Image width 240 mm; Brain
FLAIR MRI.
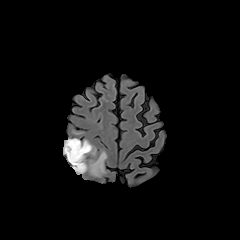
T1-weighted MR image.
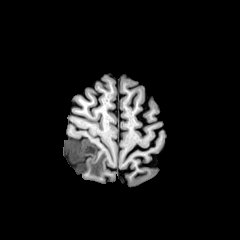
Post-contrast T1-weighted MRI.
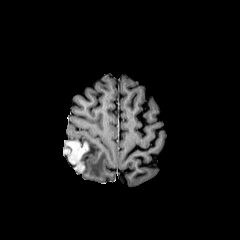
T2-weighted magnetic resonance.
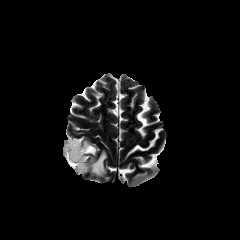
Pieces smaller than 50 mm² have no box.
{
  "peritumoral_edema": [
    "left=63, top=138, right=107, bottom=176"
  ],
  "enhancing_tumor": [
    "left=63, top=140, right=88, bottom=172"
  ]
}